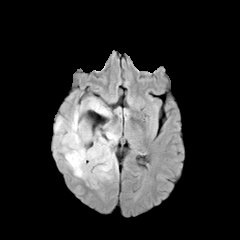
FLAIR MR image.
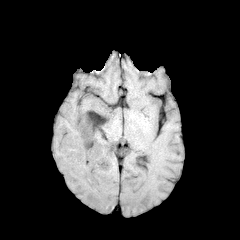
T1-weighted MR image of the same slice.
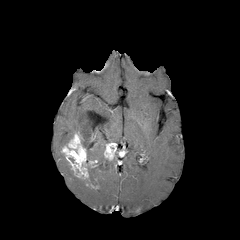
Post-contrast T1-weighted MR image.
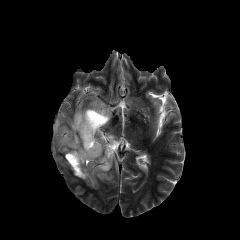
T2-weighted MR image.
Axial slice, Head
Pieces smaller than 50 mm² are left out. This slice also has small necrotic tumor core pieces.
{
  "peritumoral_edema": [
    "rect(55, 97, 120, 186)"
  ],
  "enhancing_tumor": [
    "rect(61, 132, 99, 179)",
    "rect(103, 141, 116, 162)"
  ]
}